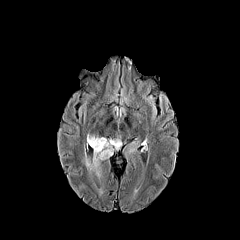
FLAIR magnetic resonance.
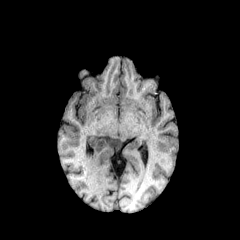
T1-weighted MR image.
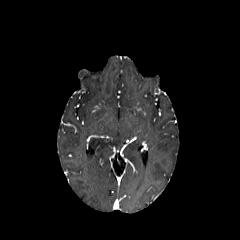
Post-contrast T1-weighted MRI.
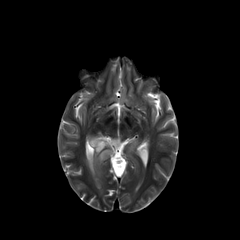
T2-weighted MRI.
Head
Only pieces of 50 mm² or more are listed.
The 2 largest peritumoral edema regions are bounded by <bbox>109, 139, 120, 148</bbox>, <bbox>89, 137, 112, 167</bbox>.